FLAIR MR.
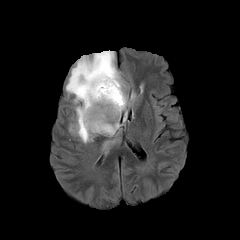
T1-weighted magnetic resonance.
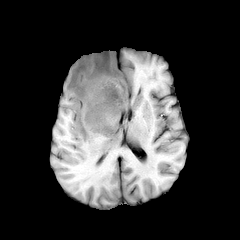
Post-contrast T1-weighted MR image.
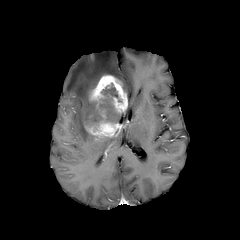
T2-weighted magnetic resonance.
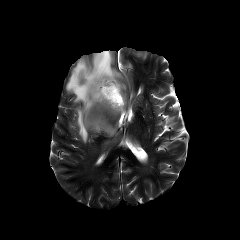
Image size 240x240.
necrotic tumor core — 99:97:118:124, 100:83:122:101
enhancing tumor — 83:73:127:137
peritumoral edema — 66:50:126:143